Slice index 54; 240x240 px
FLAIR MRI.
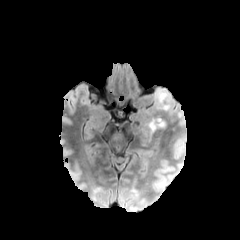
T1-weighted MRI.
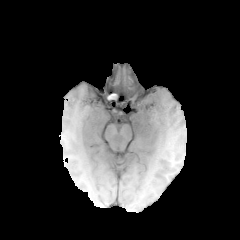
Post-contrast T1-weighted MR.
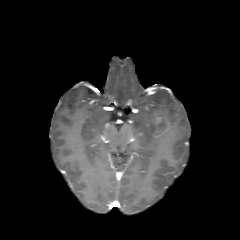
T2-weighted magnetic resonance.
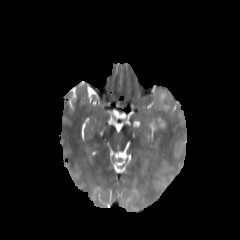
2 peritumoral edema regions are bounded by (149,119,165,132), (155,89,171,110).